FLAIR MR image.
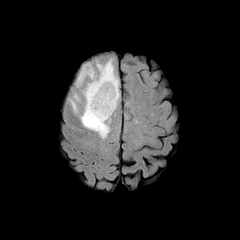
T1-weighted MRI.
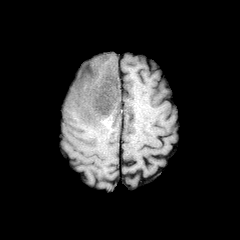
Post-contrast T1-weighted magnetic resonance.
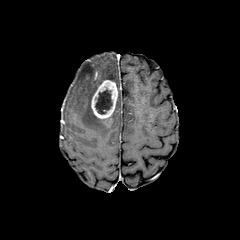
T2-weighted MR.
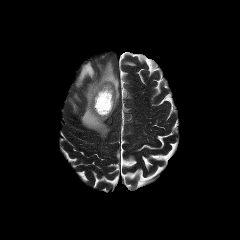
Head | Axial view
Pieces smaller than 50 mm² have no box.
* enhancing tumor: <box>91,80,117,118</box>
* necrotic tumor core: <box>95,89,112,114</box>
* peritumoral edema: <box>70,100,77,112</box>, <box>76,60,119,138</box>